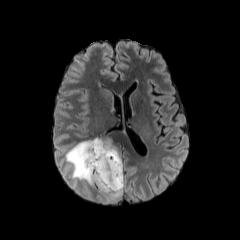
FLAIR MRI.
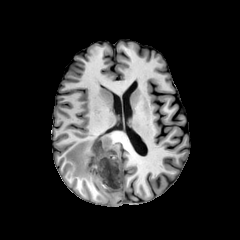
T1-weighted MR image.
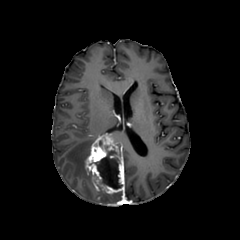
Same slice, post-contrast T1-weighted MR image.
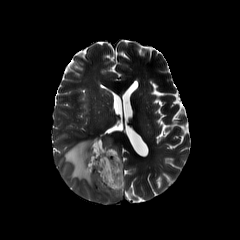
T2-weighted MR of the same slice.
Brain
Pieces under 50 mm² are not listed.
The largest necrotic tumor core region is bounded by <box>94,150,122,189</box>. The enhancing tumor is at <box>85,135,124,193</box>. 2 peritumoral edema regions are located at <box>99,190,122,199</box>, <box>65,139,94,187</box>.